FLAIR MR.
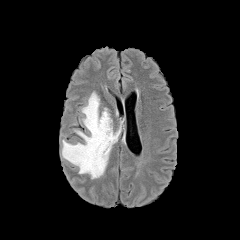
T1-weighted magnetic resonance.
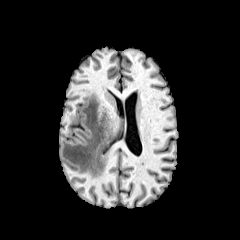
Post-contrast T1-weighted MR.
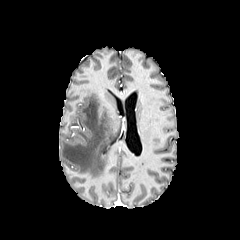
T2-weighted MR image.
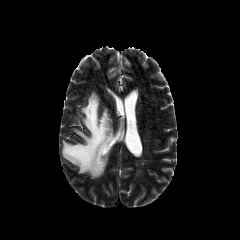
The peritumoral edema is bounded by bbox(62, 92, 118, 178).